FLAIR MRI.
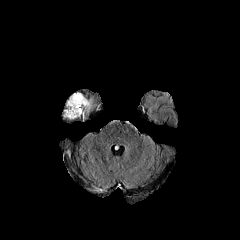
T1-weighted MR.
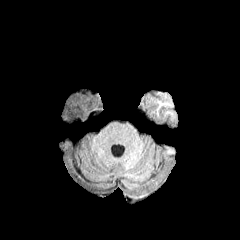
Post-contrast T1-weighted MR.
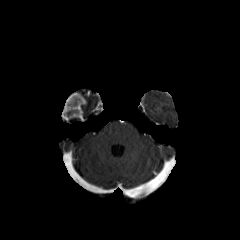
T2-weighted MR image.
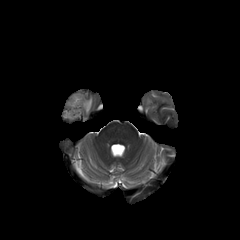
Brain. Image size 240x240.
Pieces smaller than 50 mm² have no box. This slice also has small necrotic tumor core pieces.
enhancing_tumor:
  - [x1=62, y1=92, x2=86, y2=120]
peritumoral_edema:
  - [x1=85, y1=98, x2=92, y2=112]